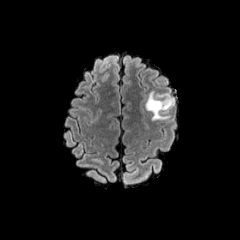
FLAIR magnetic resonance.
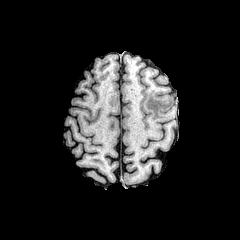
T1-weighted MR of the same slice.
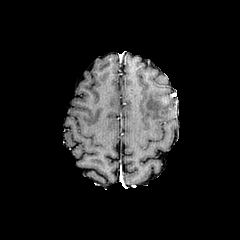
Same slice, post-contrast T1-weighted magnetic resonance.
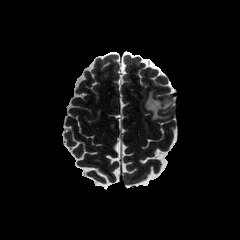
T2-weighted MR image.
Head; 240x240 px; Axial view
<segmentation>
  <enhancing_tumor>l=161, t=96, r=169, b=106</enhancing_tumor>
  <peritumoral_edema>l=144, t=90, r=174, b=121</peritumoral_edema>
</segmentation>